FLAIR MRI.
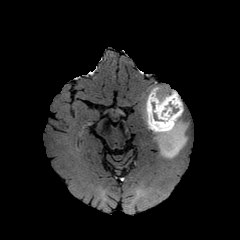
T1-weighted MRI.
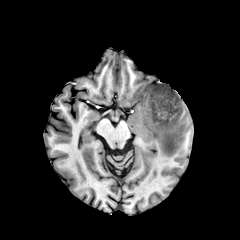
Post-contrast T1-weighted MR.
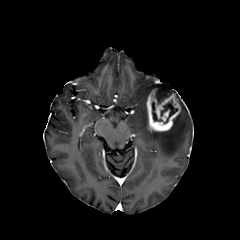
T2-weighted magnetic resonance.
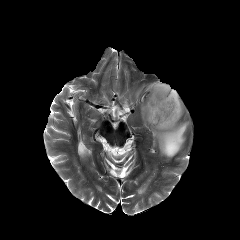
240x240 | Axial slice
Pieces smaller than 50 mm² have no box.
necrotic tumor core = x1=161 y1=100 x2=177 y2=123, x1=152 y1=102 x2=162 y2=121
peritumoral edema = x1=151 y1=85 x2=169 y2=104, x1=153 y1=91 x2=187 y2=158
enhancing tumor = x1=146 y1=89 x2=180 y2=131